FLAIR MR image.
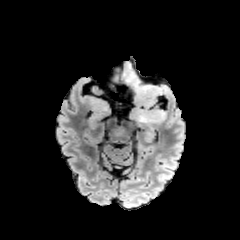
T1-weighted magnetic resonance.
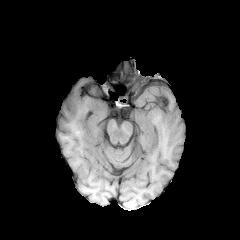
Post-contrast T1-weighted magnetic resonance.
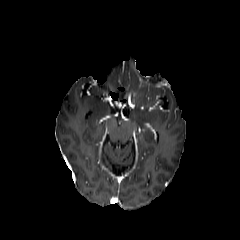
T2-weighted magnetic resonance.
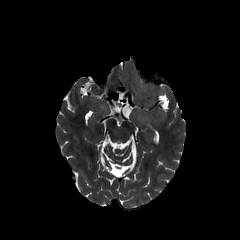
Axial plane | 240x240 px
Annotated regions:
* peritumoral edema: l=132, t=109, r=166, b=121; l=123, t=62, r=165, b=106